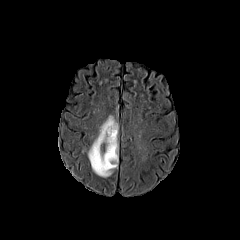
FLAIR MR.
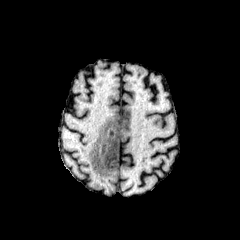
Same slice, T1-weighted MR image.
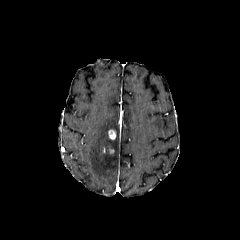
Post-contrast T1-weighted MR image.
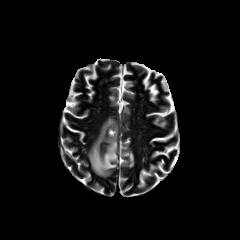
Same slice, T2-weighted magnetic resonance.
Head
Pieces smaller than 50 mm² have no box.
Findings:
- enhancing tumor: <bbox>108, 129, 116, 139</bbox>
- peritumoral edema: <bbox>88, 116, 118, 177</bbox>